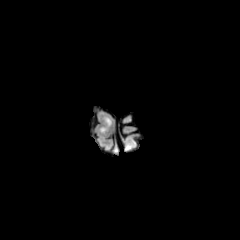
FLAIR magnetic resonance.
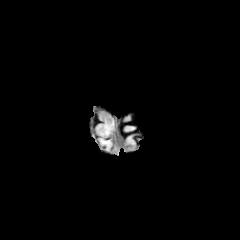
T1-weighted magnetic resonance.
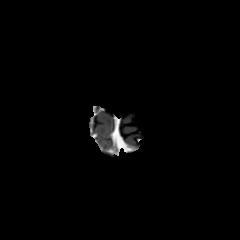
Post-contrast T1-weighted MR image.
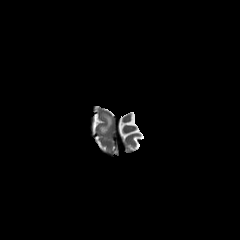
T2-weighted MRI.
Brain.
Findings:
• peritumoral edema: box(99, 115, 111, 133)